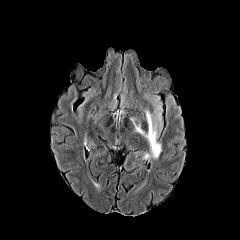
FLAIR MR.
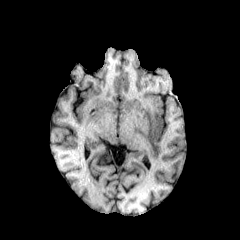
T1-weighted MR image.
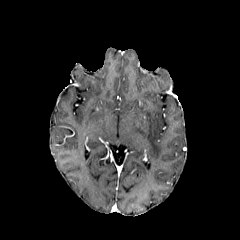
Post-contrast T1-weighted MRI.
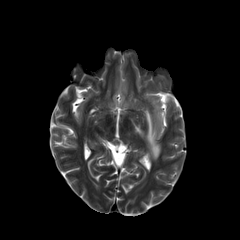
T2-weighted MR image of the same slice.
Head; Axial slice
The peritumoral edema is bounded by 134, 106, 162, 159.